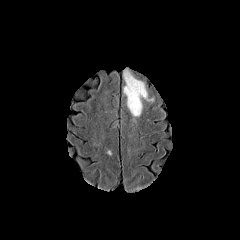
FLAIR MR image.
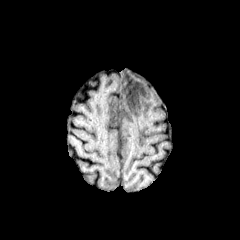
T1-weighted MR.
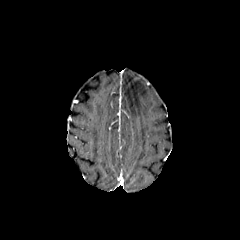
Post-contrast T1-weighted magnetic resonance of the same slice.
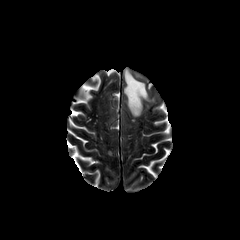
Same slice, T2-weighted MR.
Axial plane, Head
The peritumoral edema lies within [x1=122, y1=68, x2=152, y2=116].